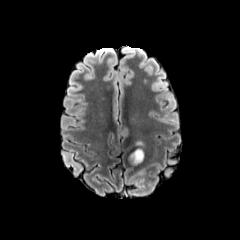
FLAIR MR.
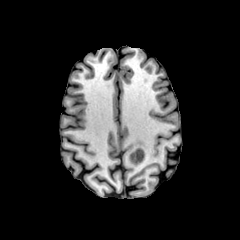
T1-weighted MRI.
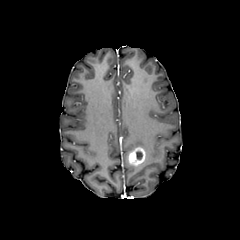
Post-contrast T1-weighted magnetic resonance.
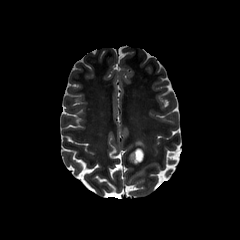
Same slice, T2-weighted MR image.
Image size 240x240, Axial view
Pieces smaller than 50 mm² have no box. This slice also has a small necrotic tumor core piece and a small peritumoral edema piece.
enhancing_tumor:
  - rect(128, 147, 145, 166)